Brain, Axial plane
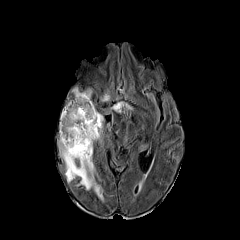
FLAIR MR image.
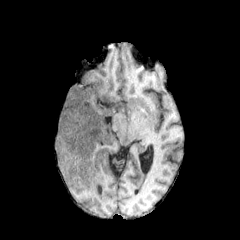
T1-weighted magnetic resonance.
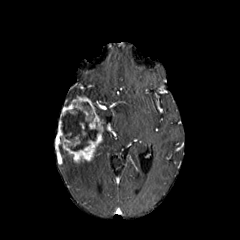
Post-contrast T1-weighted magnetic resonance.
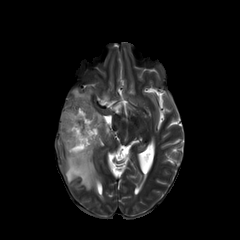
T2-weighted MR image of the same slice.
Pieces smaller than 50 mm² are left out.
necrotic tumor core: bounding box l=61, t=108, r=98, b=150; l=81, t=102, r=90, b=111
enhancing tumor: bounding box l=56, t=95, r=102, b=162
peritumoral edema: bounding box l=58, t=146, r=102, b=198; l=113, t=103, r=122, b=111; l=72, t=88, r=91, b=99